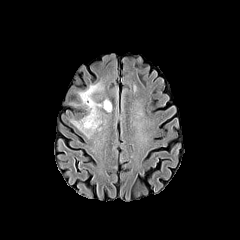
FLAIR MR.
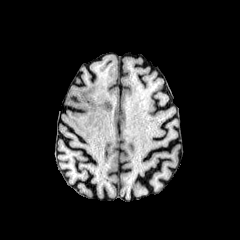
T1-weighted MRI.
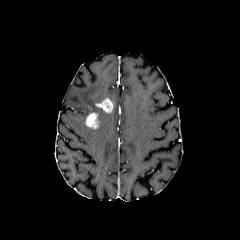
Post-contrast T1-weighted MR image of the same slice.
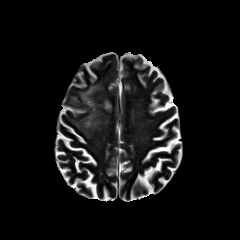
T2-weighted magnetic resonance of the same slice.
Image size 240x240; Head; Axial view
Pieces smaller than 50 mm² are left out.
peritumoral edema: x1=71, y1=83, x2=103, y2=137 | enhancing tumor: x1=84, y1=112, x2=99, y2=128; x1=95, y1=98, x2=112, y2=112